FLAIR magnetic resonance.
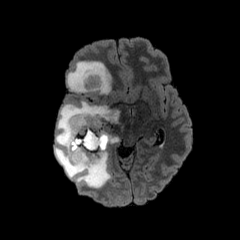
T1-weighted MR image.
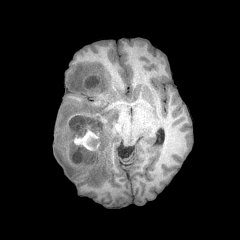
Post-contrast T1-weighted MRI.
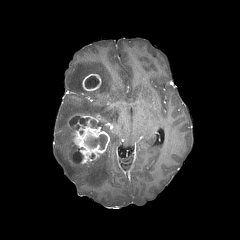
T2-weighted magnetic resonance.
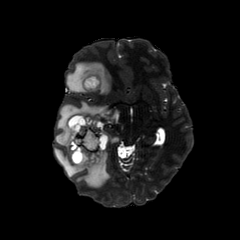
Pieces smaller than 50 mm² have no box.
The 5 largest necrotic tumor core regions are bounded by [90, 120, 99, 127], [85, 132, 106, 149], [85, 76, 99, 88], [69, 116, 89, 129], [73, 151, 81, 162]. The 2 largest enhancing tumor regions are located at [68, 114, 109, 164], [82, 73, 101, 91]. The 3 largest peritumoral edema regions are bounded by [54, 101, 118, 188], [66, 61, 111, 94], [109, 135, 118, 143].